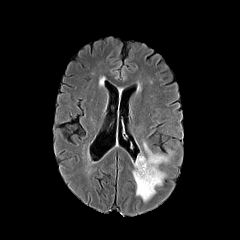
FLAIR MRI.
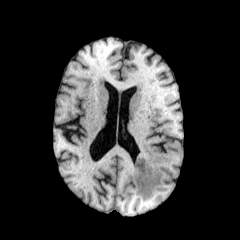
T1-weighted MR.
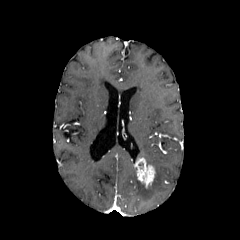
Post-contrast T1-weighted MRI.
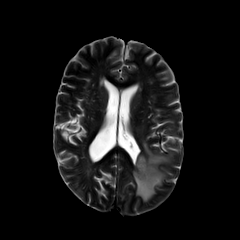
T2-weighted MR image.
Axial plane
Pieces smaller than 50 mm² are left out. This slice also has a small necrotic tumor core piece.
{"enhancing_tumor": ["(134,157,155,187)"], "peritumoral_edema": ["(132,141,171,201)"]}